FLAIR MR image.
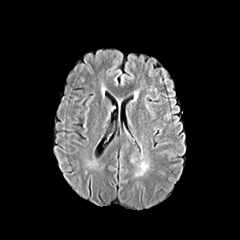
T1-weighted magnetic resonance.
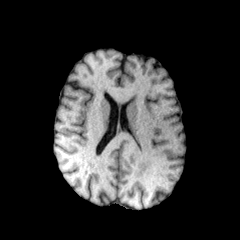
Post-contrast T1-weighted MRI.
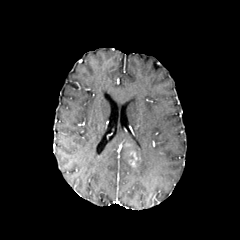
T2-weighted MRI.
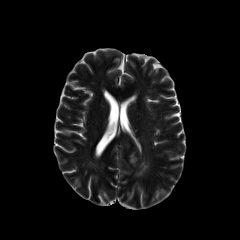
Axial slice. Brain.
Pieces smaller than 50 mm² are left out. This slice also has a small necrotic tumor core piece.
enhancing tumor: bbox=[127, 150, 137, 166] | peritumoral edema: bbox=[135, 160, 149, 176]